FLAIR MRI.
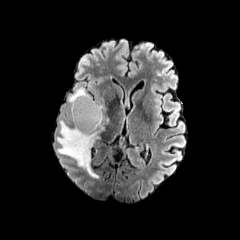
T1-weighted MR image.
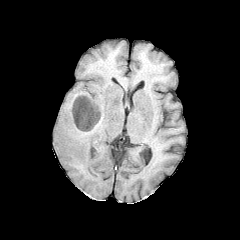
Post-contrast T1-weighted magnetic resonance.
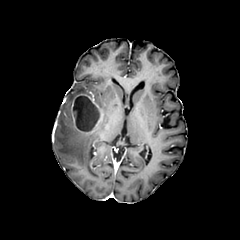
T2-weighted MR.
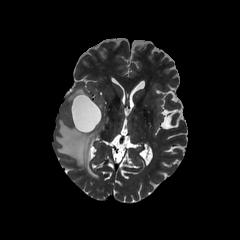
Image size 240x240
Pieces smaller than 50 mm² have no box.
<segmentation>
  <peritumoral_edema>box(56, 87, 108, 178)</peritumoral_edema>
  <necrotic_tumor_core>box(73, 96, 99, 131)</necrotic_tumor_core>
  <enhancing_tumor>box(71, 94, 102, 133)</enhancing_tumor>
</segmentation>